Brain | Axial plane | Image size 240x240
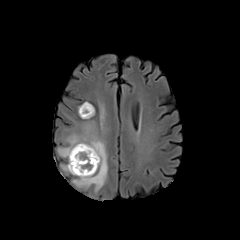
FLAIR magnetic resonance.
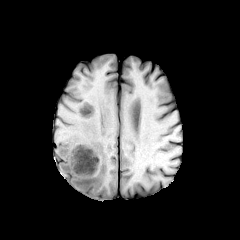
Same slice, T1-weighted MRI.
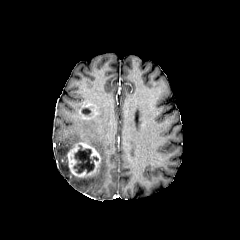
Same slice, post-contrast T1-weighted MRI.
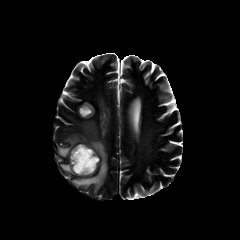
Same slice, T2-weighted magnetic resonance.
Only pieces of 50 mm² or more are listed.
Annotated regions:
* enhancing tumor: (79, 103, 95, 119), (67, 142, 100, 177)
* necrotic tumor core: (81, 108, 91, 116), (73, 145, 98, 173)
* peritumoral edema: (60, 164, 70, 172), (58, 121, 107, 193)